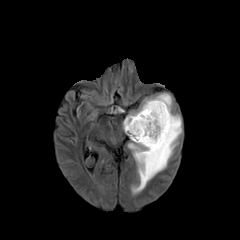
FLAIR MR.
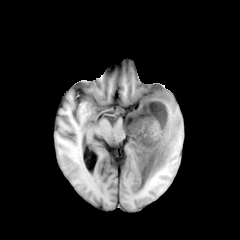
Same slice, T1-weighted magnetic resonance.
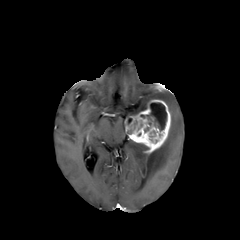
Post-contrast T1-weighted MR.
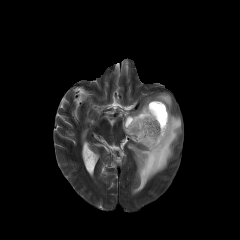
T2-weighted magnetic resonance.
Head; 240x240
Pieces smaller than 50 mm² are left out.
peritumoral edema — bbox=[128, 93, 181, 193]
enhancing tumor — bbox=[124, 99, 171, 154]
necrotic tumor core — bbox=[147, 102, 166, 130]